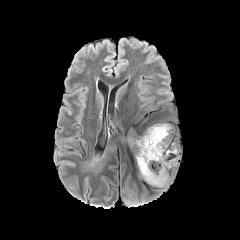
FLAIR MR image.
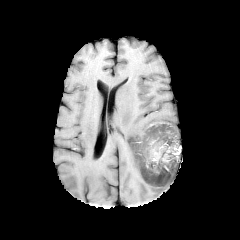
T1-weighted magnetic resonance.
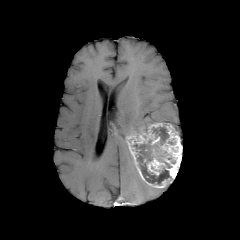
Post-contrast T1-weighted MR image.
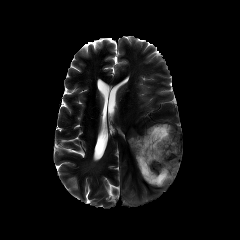
T2-weighted MRI.
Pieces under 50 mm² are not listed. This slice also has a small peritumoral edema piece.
- enhancing tumor: (left=127, top=123, right=181, bottom=188)
- necrotic tumor core: (left=153, top=127, right=168, bottom=144), (left=134, top=140, right=170, bottom=184)